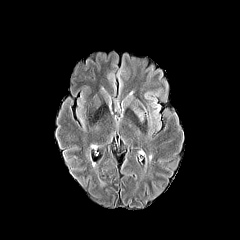
FLAIR MR.
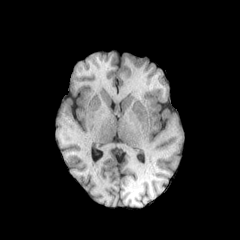
Same slice, T1-weighted MR.
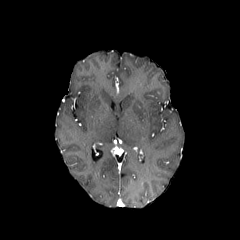
Same slice, post-contrast T1-weighted MR image.
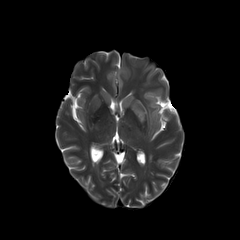
T2-weighted magnetic resonance of the same slice.
peritumoral edema — l=123, t=95, r=133, b=109; l=133, t=106, r=144, b=123